FLAIR MR image.
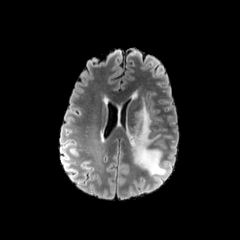
T1-weighted magnetic resonance.
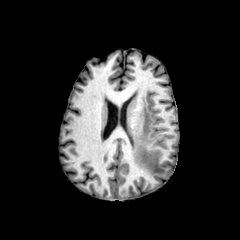
Post-contrast T1-weighted magnetic resonance.
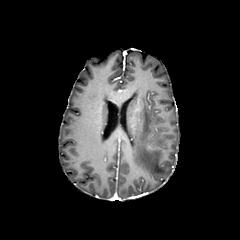
T2-weighted magnetic resonance.
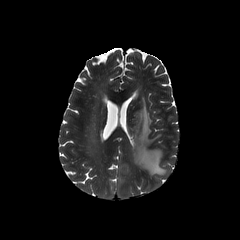
Axial slice; 240x240
peritumoral edema: x1=128 y1=105 x2=165 y2=175